Image width 240 mm. Axial slice.
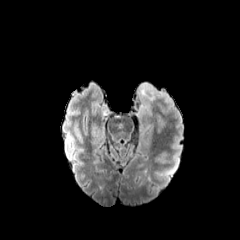
FLAIR MR.
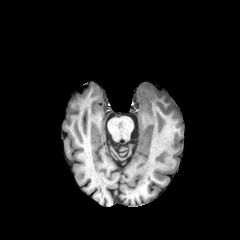
Same slice, T1-weighted MR image.
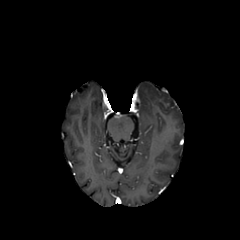
Post-contrast T1-weighted MR of the same slice.
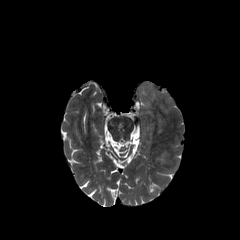
T2-weighted MR.
Findings:
* peritumoral edema: left=137, top=82, right=175, bottom=117